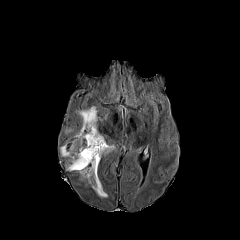
FLAIR MR image.
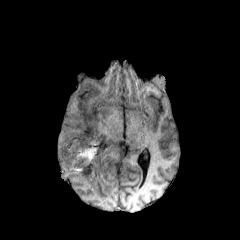
T1-weighted MRI of the same slice.
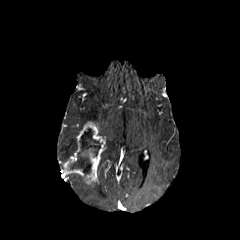
Post-contrast T1-weighted MR image.
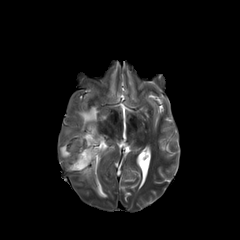
T2-weighted MR image of the same slice.
Image size 240x240 | Head
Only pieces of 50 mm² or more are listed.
peritumoral edema: bounding box (x1=92, y1=180, x2=107, y2=197), (x1=60, y1=132, x2=78, y2=158), (x1=101, y1=143, x2=114, y2=157), (x1=77, y1=106, x2=97, y2=129)
enhancing tumor: bounding box (x1=63, y1=121, x2=106, y2=185)
necrotic tumor core: bounding box (x1=70, y1=128, x2=101, y2=174)